Head; 240x240
FLAIR MR.
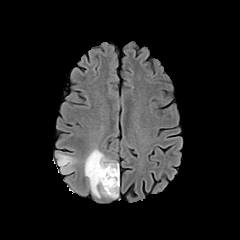
T1-weighted magnetic resonance.
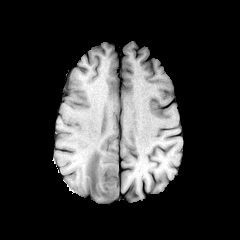
Post-contrast T1-weighted magnetic resonance.
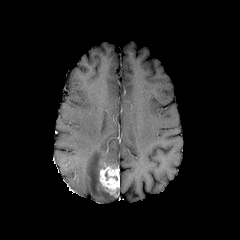
T2-weighted MR image.
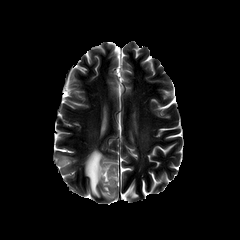
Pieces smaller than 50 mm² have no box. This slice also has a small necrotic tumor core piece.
enhancing tumor: {"x1": 99, "y1": 165, "x2": 117, "y2": 196} | peritumoral edema: {"x1": 84, "y1": 149, "x2": 117, "y2": 198}, {"x1": 57, "y1": 154, "x2": 75, "y2": 173}